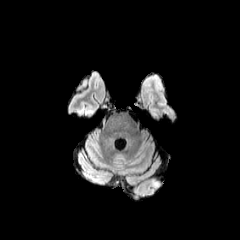
FLAIR MR.
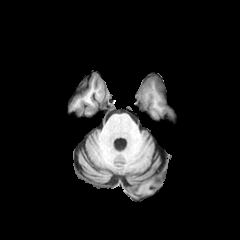
T1-weighted magnetic resonance.
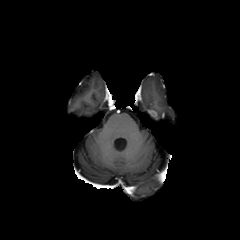
Post-contrast T1-weighted MR image.
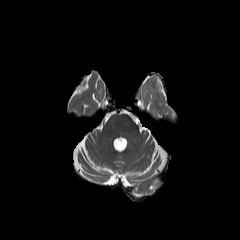
T2-weighted MRI.
Image size 240x240
{"enhancing_tumor": ["(left=147, top=109, right=156, bottom=116)"]}